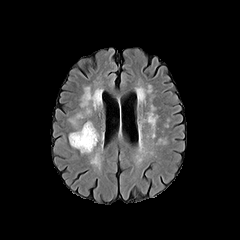
FLAIR MR image.
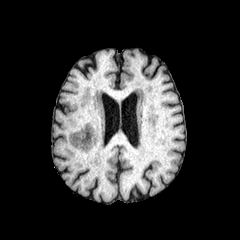
T1-weighted MRI of the same slice.
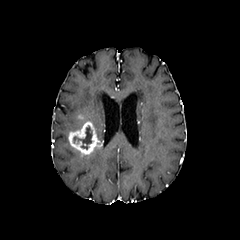
Post-contrast T1-weighted MRI of the same slice.
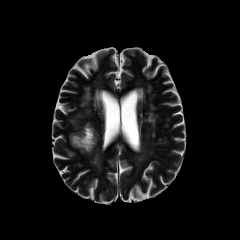
Same slice, T2-weighted MRI.
Image size 240x240
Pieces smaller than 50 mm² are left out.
- necrotic tumor core: bbox=[73, 126, 92, 149]
- enhancing tumor: bbox=[68, 121, 98, 154]
- peritumoral edema: bbox=[68, 112, 81, 129]